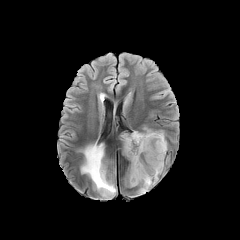
FLAIR MRI.
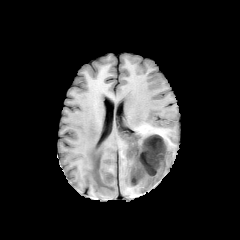
Same slice, T1-weighted magnetic resonance.
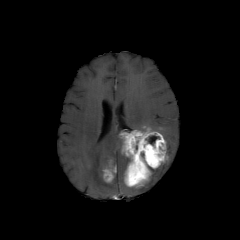
Post-contrast T1-weighted MRI of the same slice.
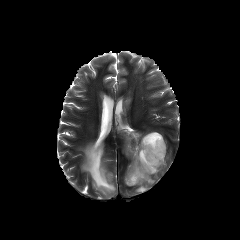
T2-weighted MR image.
Brain
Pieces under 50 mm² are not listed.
enhancing tumor: bbox(103, 168, 113, 182); bbox(120, 129, 168, 186) | peritumoral edema: bbox(81, 142, 116, 197); bbox(137, 159, 168, 192); bbox(144, 127, 164, 138) | necrotic tumor core: bbox(148, 135, 159, 144)